FLAIR MR image.
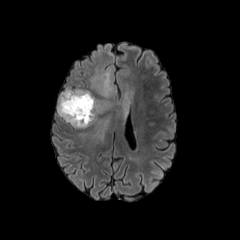
T1-weighted MR.
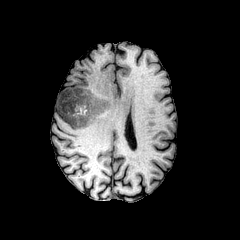
Post-contrast T1-weighted magnetic resonance.
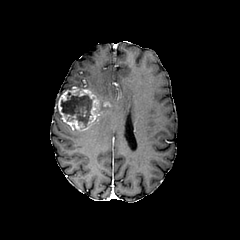
T2-weighted MRI.
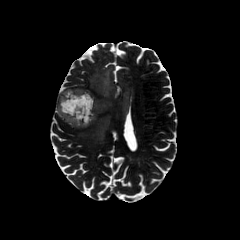
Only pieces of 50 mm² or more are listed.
{
  "enhancing_tumor": [
    "region(57, 87, 102, 130)"
  ],
  "necrotic_tumor_core": [
    "region(61, 92, 92, 126)"
  ],
  "peritumoral_edema": [
    "region(90, 51, 131, 135)"
  ]
}